Head
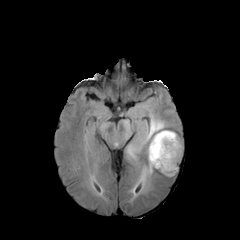
FLAIR magnetic resonance.
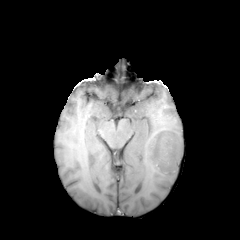
T1-weighted magnetic resonance.
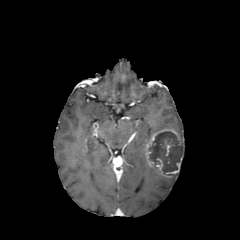
Same slice, post-contrast T1-weighted MR.
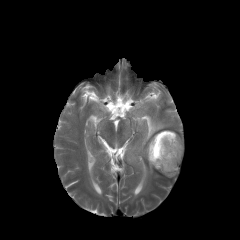
T2-weighted MR.
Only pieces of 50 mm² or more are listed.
necrotic tumor core: 149:131:182:172
peritumoral edema: 130:164:157:200, 126:104:167:164
enhancing tumor: 145:129:183:176, 164:140:173:155